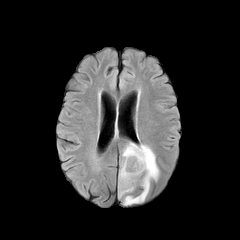
FLAIR MR image.
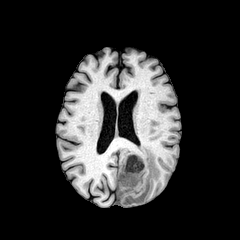
Same slice, T1-weighted magnetic resonance.
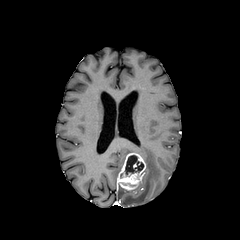
Post-contrast T1-weighted MR of the same slice.
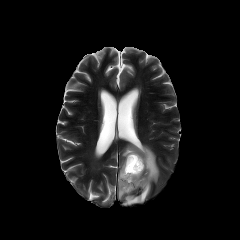
T2-weighted magnetic resonance of the same slice.
Axial slice
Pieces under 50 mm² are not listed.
peritumoral edema = [122,143,159,205], [118,185,131,197]
enhancing tumor = [118,153,145,190]
necrotic tumor core = [125,155,143,174]